Brain
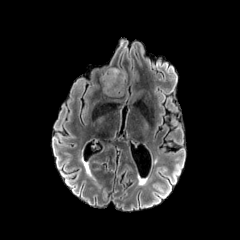
FLAIR MR.
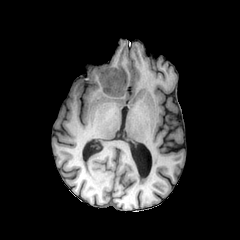
T1-weighted MRI of the same slice.
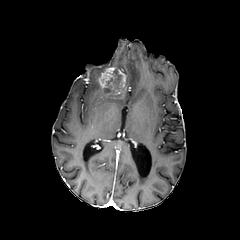
Post-contrast T1-weighted MR image of the same slice.
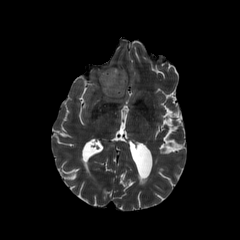
Same slice, T2-weighted MR.
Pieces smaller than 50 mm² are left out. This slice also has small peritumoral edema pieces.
{
  "necrotic_tumor_core": [
    "<box>104,69,120,92</box>"
  ],
  "enhancing_tumor": [
    "<box>99,67,116,88</box>",
    "<box>107,69,126,94</box>"
  ]
}